Image width 240 mm. Head. 240x240 px. Slice index 66.
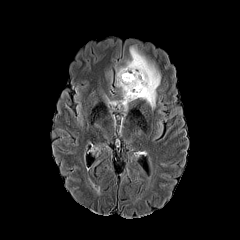
FLAIR MR image.
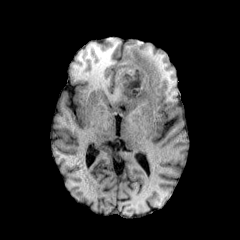
T1-weighted MR of the same slice.
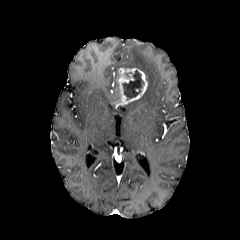
Post-contrast T1-weighted MR.
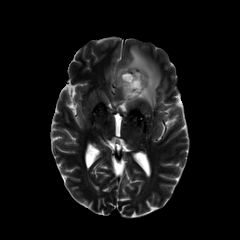
T2-weighted MRI.
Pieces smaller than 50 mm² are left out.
peritumoral edema = box=[122, 47, 160, 108]
enhancing tumor = box=[112, 68, 147, 106]
necrotic tumor core = box=[122, 70, 143, 99]